FLAIR magnetic resonance.
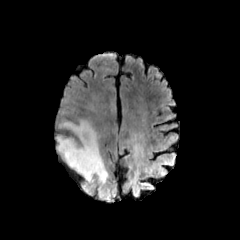
T1-weighted MR.
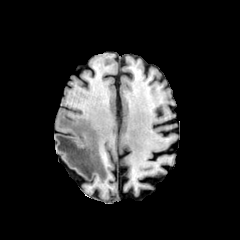
Post-contrast T1-weighted magnetic resonance.
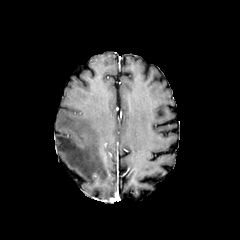
T2-weighted MR image.
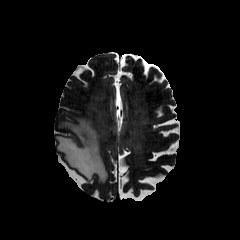
Axial view
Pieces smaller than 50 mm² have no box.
peritumoral edema: bounding box bbox=[55, 118, 108, 184]